FLAIR MRI.
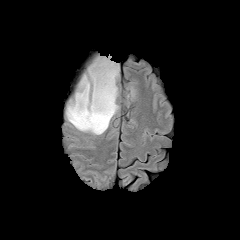
T1-weighted MRI.
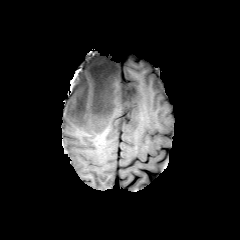
Post-contrast T1-weighted MR image.
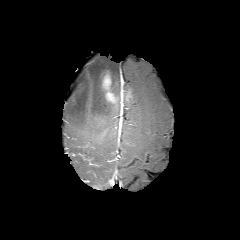
T2-weighted MR image.
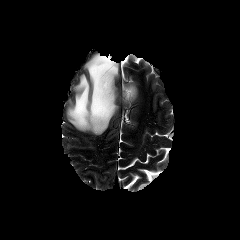
Axial plane.
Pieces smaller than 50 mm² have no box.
enhancing tumor: bounding box 102:73:115:102
peritumoral edema: bounding box 66:57:118:134